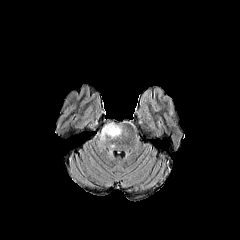
FLAIR MR.
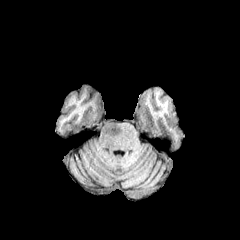
T1-weighted MR.
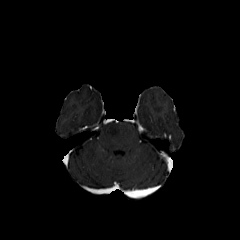
Post-contrast T1-weighted MRI of the same slice.
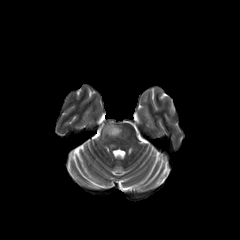
T2-weighted MR image of the same slice.
Axial slice
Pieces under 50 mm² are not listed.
{"peritumoral_edema": ["region(101, 123, 121, 139)"]}